FLAIR magnetic resonance.
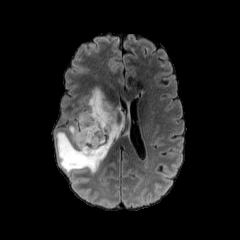
T1-weighted MR image.
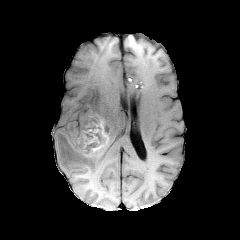
Post-contrast T1-weighted MR image.
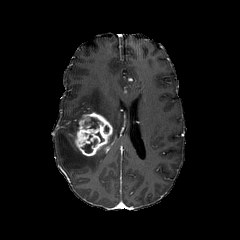
T2-weighted MRI.
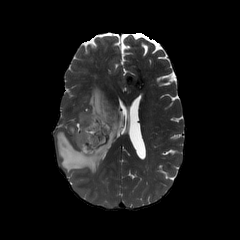
Axial plane, Image size 240x240
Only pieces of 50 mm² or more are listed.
The enhancing tumor is located at 74,112,113,156. 3 peritumoral edema regions are bounded by 69,125,78,143; 78,87,124,146; 56,132,107,173. The 2 largest necrotic tumor core regions are bounded by 84,117,103,128; 82,139,97,153.